Axial view. Slice 59/155.
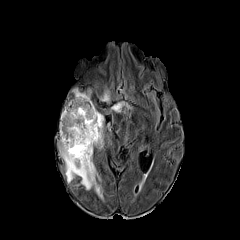
FLAIR MR.
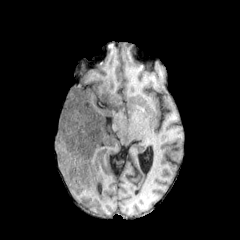
T1-weighted MRI.
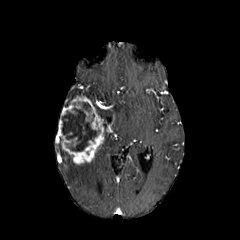
Post-contrast T1-weighted MR image.
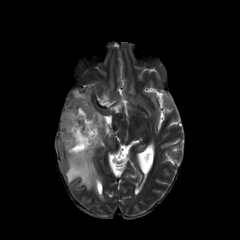
Same slice, T2-weighted MRI.
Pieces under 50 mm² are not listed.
necrotic tumor core = l=62, t=108, r=99, b=151; l=82, t=102, r=90, b=112
peritumoral edema = l=101, t=90, r=109, b=101; l=112, t=103, r=122, b=111; l=72, t=88, r=90, b=99; l=58, t=144, r=102, b=198
enhancing tumor = l=56, t=95, r=104, b=164